Image size 240x240 | Slice 71/155
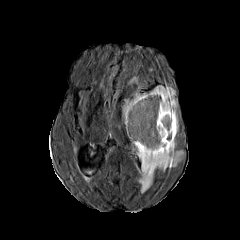
FLAIR MR image.
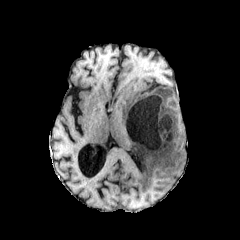
T1-weighted MR.
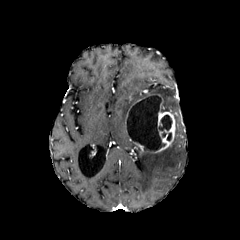
Same slice, post-contrast T1-weighted MR.
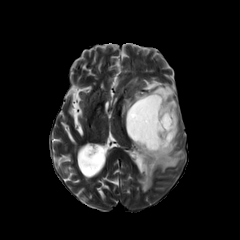
T2-weighted magnetic resonance.
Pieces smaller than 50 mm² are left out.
<segmentation>
  <peritumoral_edema>[x1=122, y1=91, x2=148, y2=120], [x1=149, y1=85, x2=178, y2=134], [x1=137, y1=139, x2=183, y2=192]</peritumoral_edema>
  <necrotic_tumor_core>[x1=127, y1=94, x2=172, y2=151]</necrotic_tumor_core>
  <enhancing_tumor>[x1=125, y1=97, x2=145, y2=131], [x1=132, y1=98, x2=175, y2=155]</enhancing_tumor>
</segmentation>